FLAIR MR image.
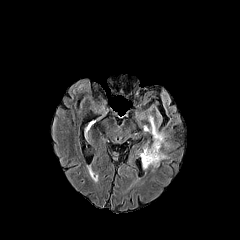
T1-weighted MR image.
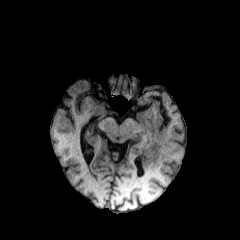
Post-contrast T1-weighted MRI.
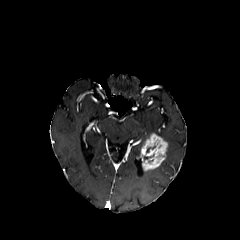
T2-weighted MR.
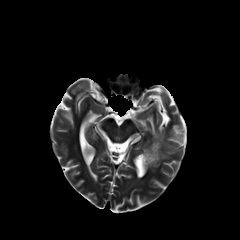
Head | Image size 240x240
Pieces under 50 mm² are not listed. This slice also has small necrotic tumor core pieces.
enhancing_tumor:
  - (141,133,167,171)
peritumoral_edema:
  - (143,116,164,139)